FLAIR magnetic resonance.
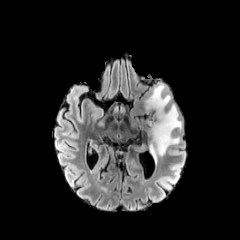
T1-weighted MRI.
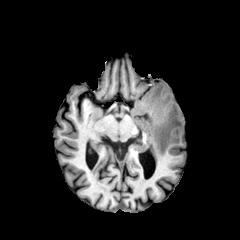
Post-contrast T1-weighted MR image.
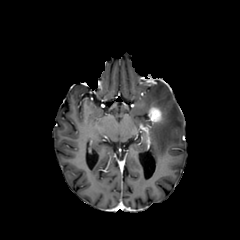
T2-weighted MR.
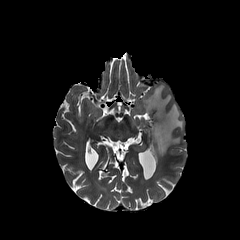
Axial slice, Head
The peritumoral edema is located at <box>141,83,182,162</box>. The enhancing tumor is located at <box>148,105,162,123</box>.